FLAIR MRI.
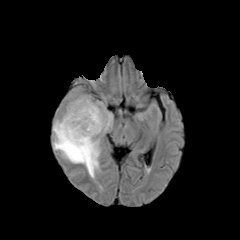
T1-weighted MR.
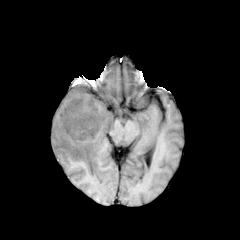
Post-contrast T1-weighted magnetic resonance.
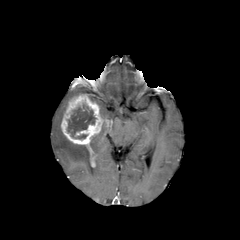
T2-weighted MRI.
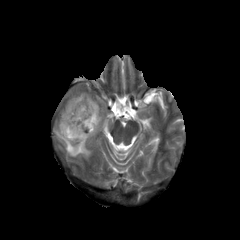
Head, Axial slice
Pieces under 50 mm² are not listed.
enhancing tumor: l=61, t=94, r=111, b=166 | peritumoral edema: l=100, t=123, r=110, b=133; l=100, t=107, r=113, b=124; l=53, t=112, r=100, b=177 | necrotic tumor core: l=67, t=104, r=95, b=138